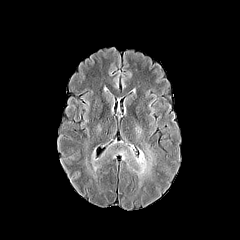
FLAIR magnetic resonance.
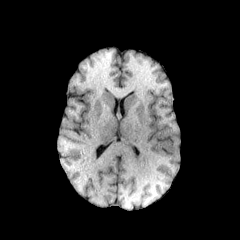
T1-weighted MR image of the same slice.
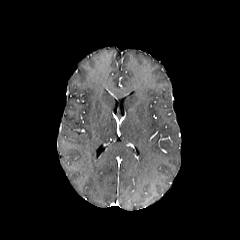
Post-contrast T1-weighted magnetic resonance.
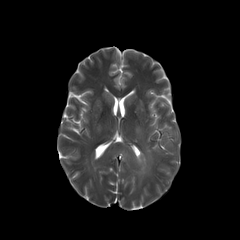
T2-weighted MRI.
Head, Axial plane, 240x240 px
peritumoral edema — 87, 150, 100, 178; 104, 141, 158, 186